Axial plane | 240x240 px
FLAIR MR image.
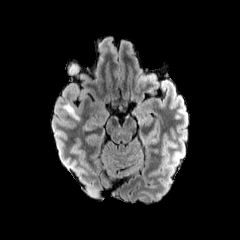
T1-weighted MR.
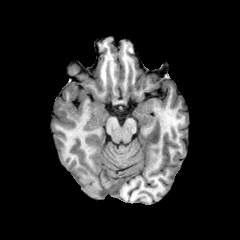
Post-contrast T1-weighted MRI.
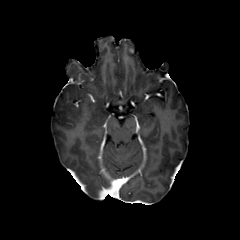
T2-weighted MR image.
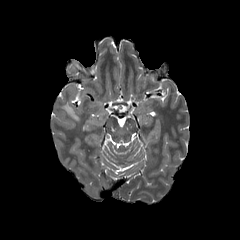
peritumoral edema — [63,103,79,120]